FLAIR MR.
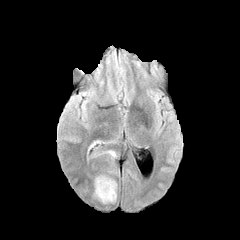
T1-weighted MRI.
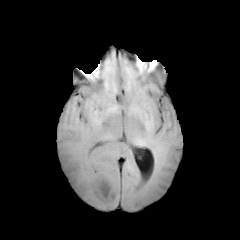
Post-contrast T1-weighted magnetic resonance.
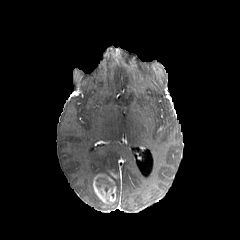
T2-weighted MR.
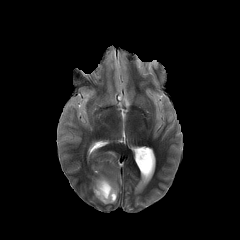
Brain
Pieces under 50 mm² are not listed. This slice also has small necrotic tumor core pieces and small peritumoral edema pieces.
enhancing tumor: (left=93, top=174, right=116, bottom=203)